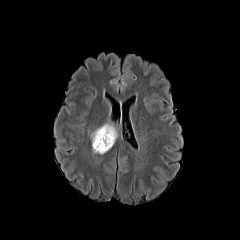
FLAIR MR.
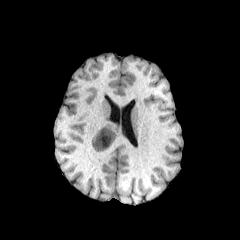
T1-weighted MR image of the same slice.
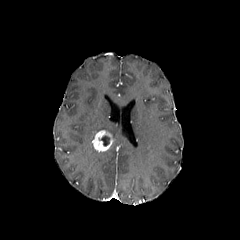
Post-contrast T1-weighted MRI.
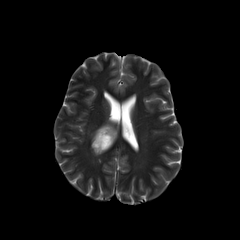
T2-weighted MR image.
Head; Axial view
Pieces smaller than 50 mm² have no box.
peritumoral edema: bounding box [91, 124, 117, 140]
necrotic tumor core: bounding box [101, 136, 109, 146]
enhancing tumor: bounding box [92, 129, 114, 152]